Head. Slice 69 of 155.
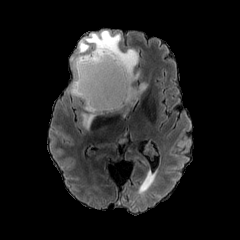
FLAIR MRI.
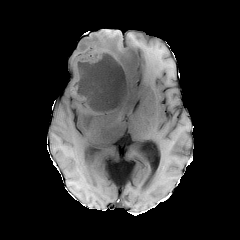
T1-weighted MRI of the same slice.
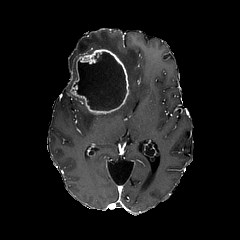
Post-contrast T1-weighted MR image of the same slice.
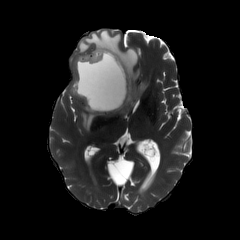
T2-weighted MR image of the same slice.
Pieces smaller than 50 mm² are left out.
necrotic tumor core: bbox=[75, 52, 126, 110] | enhancing tumor: bbox=[70, 48, 130, 114] | peritumoral edema: bbox=[81, 104, 97, 129]; bbox=[70, 30, 146, 115]